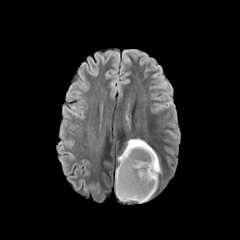
FLAIR magnetic resonance.
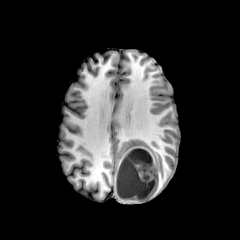
T1-weighted MR.
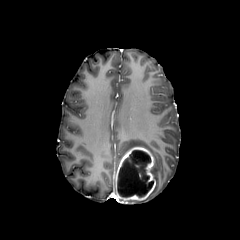
Post-contrast T1-weighted MR of the same slice.
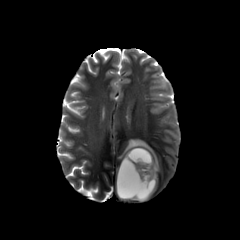
T2-weighted MRI of the same slice.
Brain
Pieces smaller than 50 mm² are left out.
The largest peritumoral edema region appears at x1=118 y1=139 x2=160 y2=201. The largest necrotic tumor core region lies within x1=117 y1=150 x2=153 y2=197. The enhancing tumor lies within x1=116 y1=147 x2=155 y2=200.